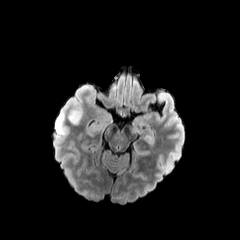
FLAIR magnetic resonance.
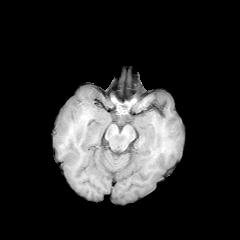
Same slice, T1-weighted MR.
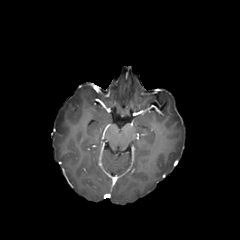
Post-contrast T1-weighted magnetic resonance.
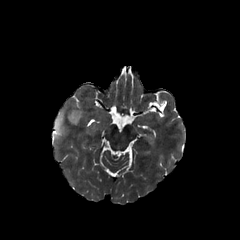
T2-weighted MR image.
Brain; Axial plane
peritumoral edema: bounding box rect(56, 112, 63, 133); rect(69, 111, 81, 124)